Axial view; Head; Slice index 59
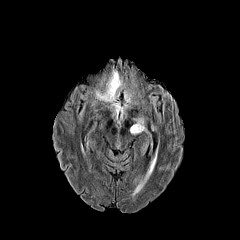
FLAIR magnetic resonance.
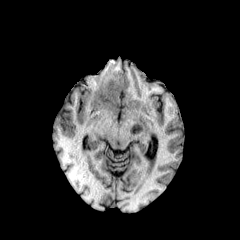
T1-weighted MR of the same slice.
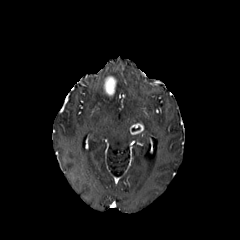
Post-contrast T1-weighted MRI of the same slice.
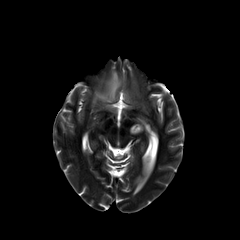
T2-weighted magnetic resonance.
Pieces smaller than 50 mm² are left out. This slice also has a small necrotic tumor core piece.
peritumoral edema = (x1=94, y1=69, x2=132, y2=117)
enhancing tumor = (x1=130, y1=123, x2=143, y2=134), (x1=104, y1=76, x2=116, y2=97)